Slice 77/155
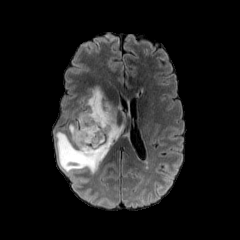
FLAIR MR.
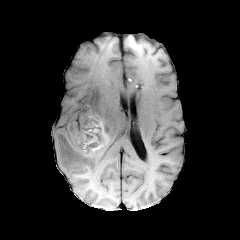
T1-weighted magnetic resonance.
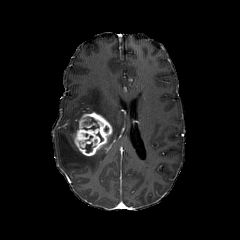
Post-contrast T1-weighted MR image of the same slice.
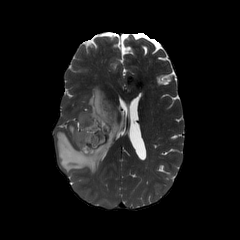
T2-weighted MR.
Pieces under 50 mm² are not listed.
2 peritumoral edema regions are located at (69, 122, 77, 144), (56, 86, 124, 173). The largest enhancing tumor region lies within (73, 112, 112, 156). The 2 largest necrotic tumor core regions appear at (78, 141, 92, 152), (82, 116, 96, 126).